FLAIR MR.
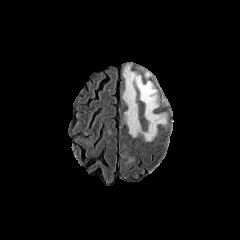
T1-weighted magnetic resonance.
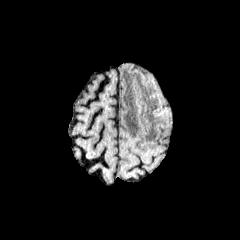
Post-contrast T1-weighted MRI.
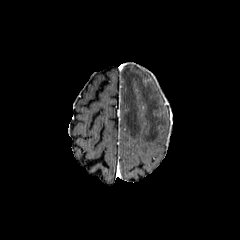
T2-weighted MR image.
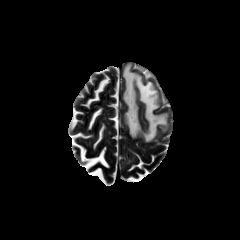
240x240 px | Axial plane
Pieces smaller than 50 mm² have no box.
peritumoral edema: region(123, 65, 167, 141)